Slice index 34; Brain
FLAIR MRI.
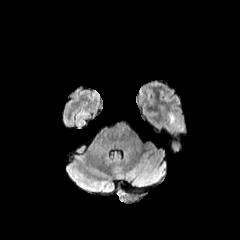
T1-weighted MR.
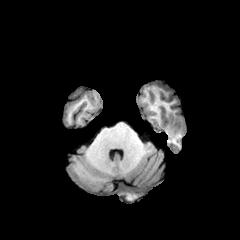
Post-contrast T1-weighted MR image.
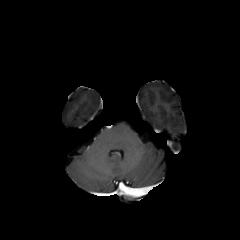
T2-weighted MRI.
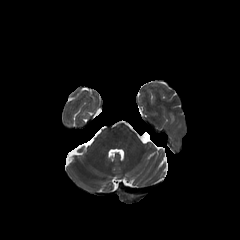
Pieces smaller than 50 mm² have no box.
The largest peritumoral edema region is bounded by (left=168, top=112, right=175, bottom=124).